Image covers 240 mm x 240 mm, Head, Slice index 97
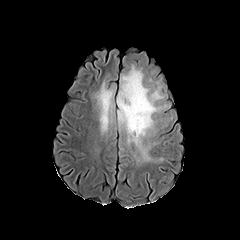
FLAIR MR image.
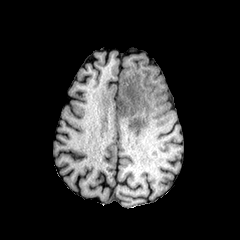
T1-weighted MR of the same slice.
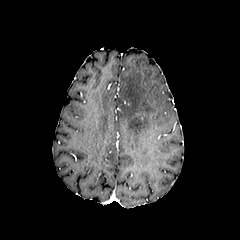
Post-contrast T1-weighted MRI of the same slice.
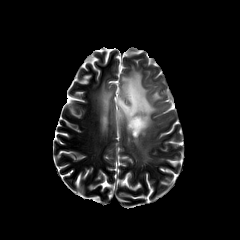
Same slice, T2-weighted MR.
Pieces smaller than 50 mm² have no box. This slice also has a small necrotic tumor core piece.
Findings:
• peritumoral edema: 96, 82, 114, 132; 117, 65, 166, 153